FLAIR magnetic resonance.
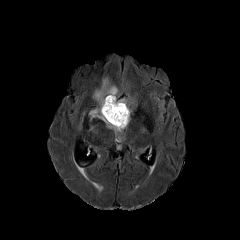
T1-weighted MRI.
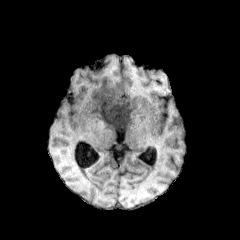
Post-contrast T1-weighted MR image.
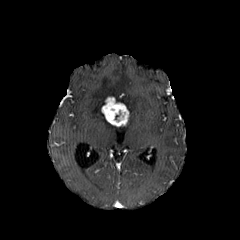
T2-weighted MRI.
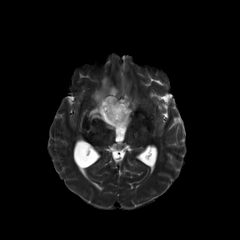
Image size 240x240
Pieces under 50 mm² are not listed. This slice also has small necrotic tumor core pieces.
Segmented structures:
- enhancing tumor: 101,96,129,126
- peritumoral edema: 89,77,131,134